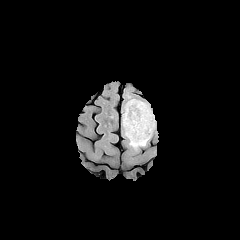
FLAIR MR image.
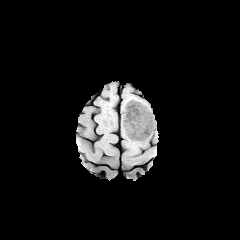
Same slice, T1-weighted MR image.
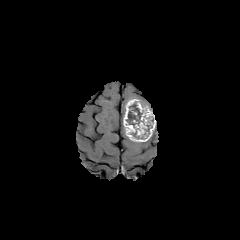
Same slice, post-contrast T1-weighted MR.
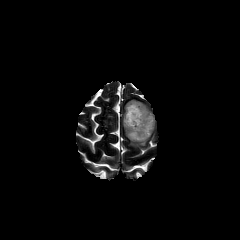
T2-weighted MRI.
Brain
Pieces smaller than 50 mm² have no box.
{"necrotic_tumor_core": ["129, 104, 141, 117", "128, 111, 136, 120"], "enhancing_tumor": ["123, 99, 155, 142"], "peritumoral_edema": ["129, 140, 147, 148"]}